Slice 79 of 155; Axial view
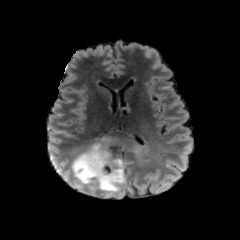
FLAIR MRI.
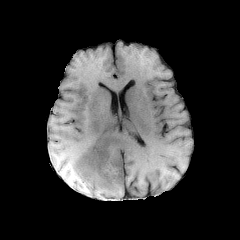
T1-weighted MR of the same slice.
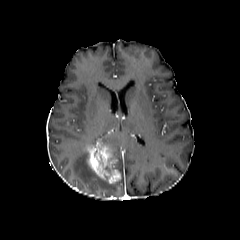
Same slice, post-contrast T1-weighted MR image.
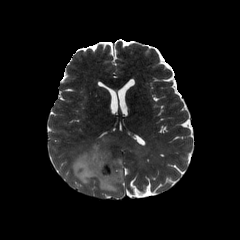
T2-weighted MRI.
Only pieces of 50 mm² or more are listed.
Findings:
• necrotic tumor core: [x1=105, y1=164, x2=116, y2=173]
• enhancing tumor: [x1=87, y1=143, x2=121, y2=184]
• peritumoral edema: [x1=71, y1=141, x2=124, y2=192]